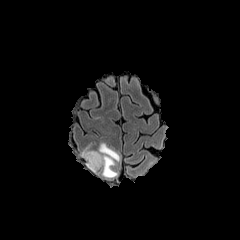
FLAIR MR image.
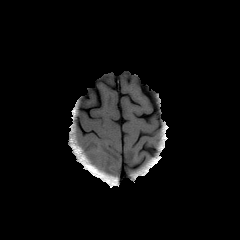
T1-weighted MRI.
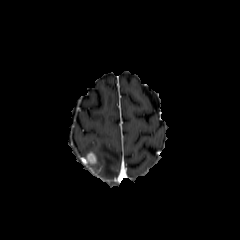
Same slice, post-contrast T1-weighted magnetic resonance.
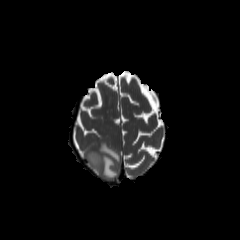
T2-weighted MR of the same slice.
peritumoral edema: x1=80 y1=142 x2=120 y2=178 | enhancing tumor: x1=82 y1=152 x2=96 y2=169